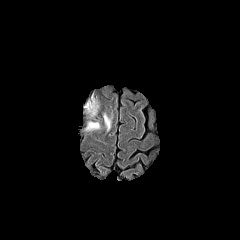
FLAIR magnetic resonance.
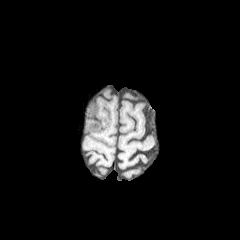
T1-weighted magnetic resonance.
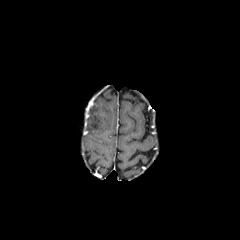
Same slice, post-contrast T1-weighted MR image.
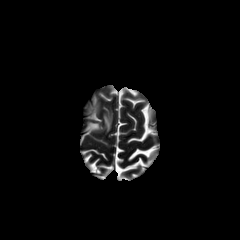
T2-weighted magnetic resonance.
enhancing_tumor:
  - bbox(86, 99, 93, 111)
peritumoral_edema:
  - bbox(89, 101, 98, 115)
  - bbox(103, 114, 111, 131)
  - bbox(86, 121, 99, 130)